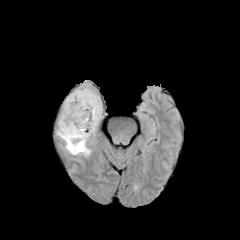
FLAIR MR image.
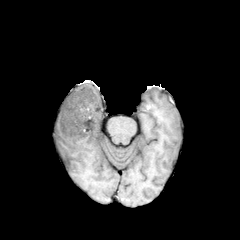
T1-weighted magnetic resonance of the same slice.
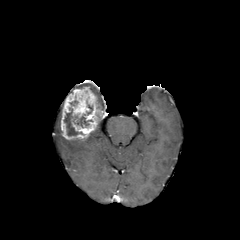
Post-contrast T1-weighted MRI.
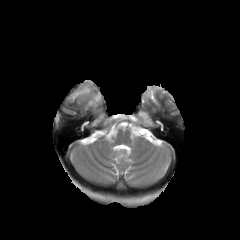
T2-weighted MR.
Head, 240x240
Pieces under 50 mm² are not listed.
necrotic tumor core = 75,116,88,127; 64,108,82,135
enhancing tumor = 61,86,104,140
peritumoral edema = 65,130,96,155